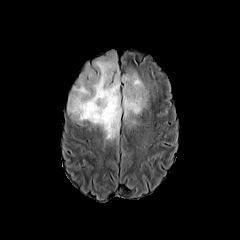
FLAIR MR image.
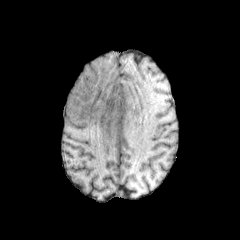
T1-weighted MR of the same slice.
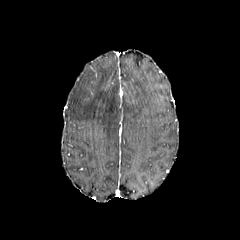
Same slice, post-contrast T1-weighted magnetic resonance.
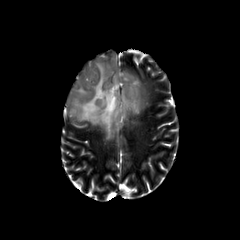
T2-weighted MRI of the same slice.
240x240
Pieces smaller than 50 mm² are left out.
<segmentation>
  <peritumoral_edema>68 51 148 140</peritumoral_edema>
</segmentation>